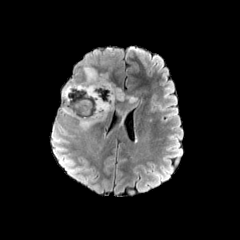
FLAIR MR image.
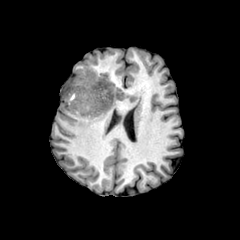
T1-weighted MRI.
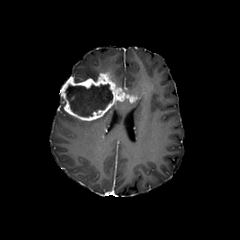
Post-contrast T1-weighted MRI of the same slice.
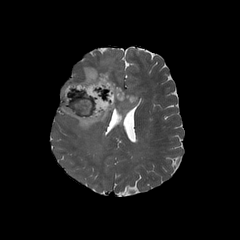
T2-weighted MR.
Head
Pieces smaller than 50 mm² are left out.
peritumoral edema = x1=61 y1=104 x2=114 y2=130, x1=73 y1=65 x2=99 y2=79
enhancing tumor = x1=60 y1=72 x2=134 y2=121
necrotic tumor core = x1=66 y1=84 x2=112 y2=117